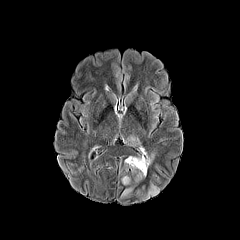
FLAIR MR image.
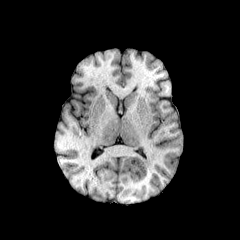
T1-weighted MRI of the same slice.
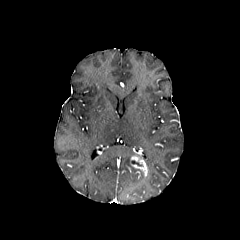
Same slice, post-contrast T1-weighted MR.
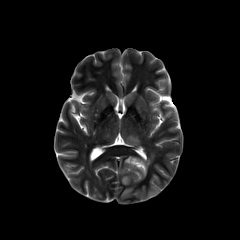
T2-weighted MR image.
Image size 240x240, Head
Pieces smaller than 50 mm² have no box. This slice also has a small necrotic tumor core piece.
Annotated regions:
- peritumoral edema: <bbox>121, 188, 132, 196</bbox>, <bbox>125, 136, 139, 145</bbox>, <bbox>143, 185, 158, 200</bbox>, <bbox>122, 176, 129, 184</bbox>, <bbox>145, 154, 154, 166</bbox>
- enhancing tumor: <bbox>130, 156, 147, 176</bbox>